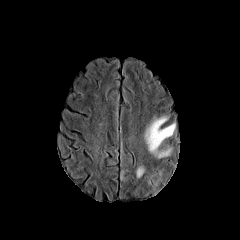
FLAIR MR image.
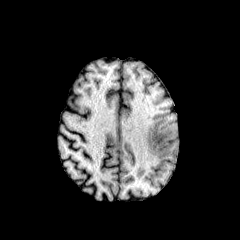
Same slice, T1-weighted MR.
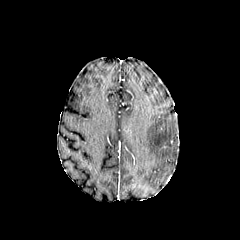
Same slice, post-contrast T1-weighted MRI.
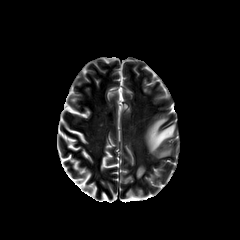
T2-weighted MR of the same slice.
Image size 240x240. Brain.
- peritumoral edema: 120,167,128,180; 136,165,144,178; 144,116,175,158; 146,171,161,186